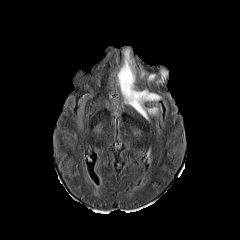
FLAIR MRI.
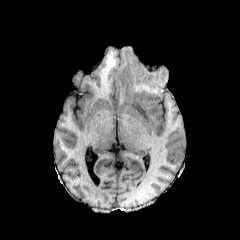
T1-weighted magnetic resonance of the same slice.
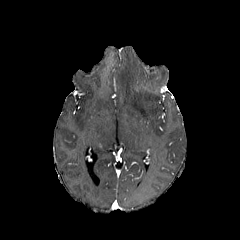
Post-contrast T1-weighted MRI of the same slice.
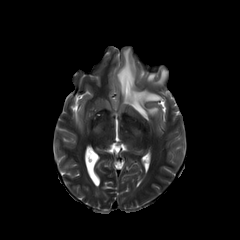
Same slice, T2-weighted MR image.
Head
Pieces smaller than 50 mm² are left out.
peritumoral edema: box=[157, 70, 167, 83]; box=[117, 48, 159, 120]